FLAIR MRI.
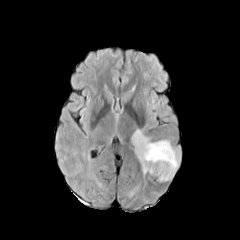
T1-weighted MR.
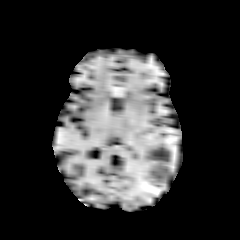
Post-contrast T1-weighted MR.
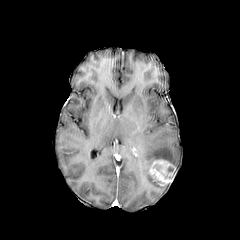
T2-weighted MR.
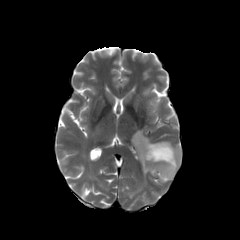
240x240, Brain
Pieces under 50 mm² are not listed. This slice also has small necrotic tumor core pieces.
The peritumoral edema lies within (132, 129, 180, 174). The enhancing tumor appears at (149, 159, 176, 183).